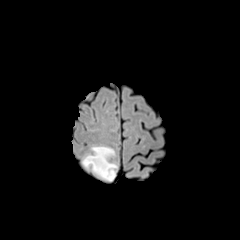
FLAIR magnetic resonance.
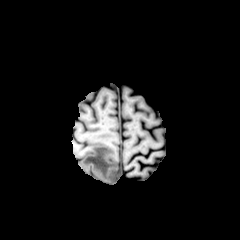
T1-weighted MRI.
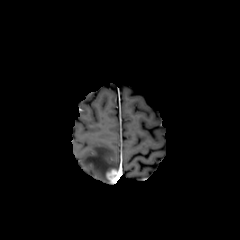
Same slice, post-contrast T1-weighted magnetic resonance.
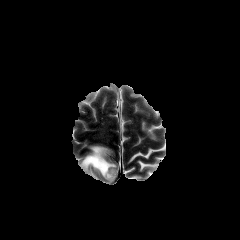
Same slice, T2-weighted MR.
Head
The enhancing tumor is bounded by <bbox>106, 169, 117, 182</bbox>. The peritumoral edema is at <bbox>83, 147, 115, 178</bbox>.